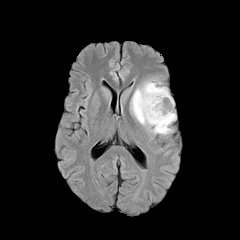
FLAIR magnetic resonance.
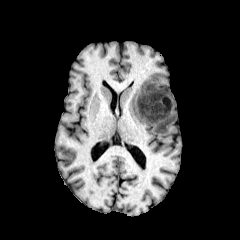
T1-weighted MRI of the same slice.
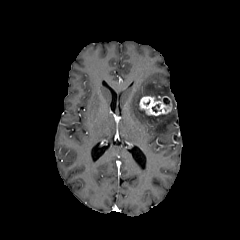
Post-contrast T1-weighted MRI.
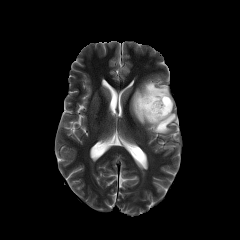
Same slice, T2-weighted MR.
240x240 | Brain | Axial view
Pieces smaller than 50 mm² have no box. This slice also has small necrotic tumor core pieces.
Annotated regions:
• peritumoral edema: 130,79,176,134
• enhancing tumor: 139,96,172,116